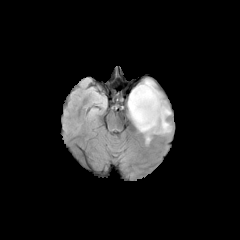
FLAIR MR image.
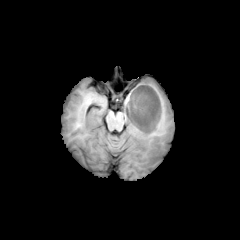
T1-weighted MR.
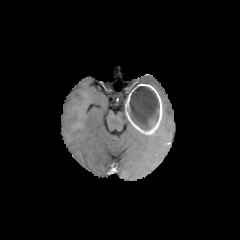
Post-contrast T1-weighted MRI.
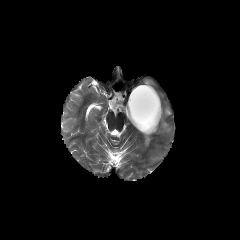
T2-weighted magnetic resonance of the same slice.
Head
peritumoral edema: bbox=[154, 90, 171, 133]; bbox=[143, 79, 154, 87]; bbox=[144, 134, 151, 144] | necrotic tumor core: bbox=[129, 86, 159, 130] | enhancing tumor: bbox=[126, 84, 162, 134]